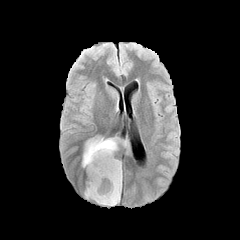
FLAIR MR image.
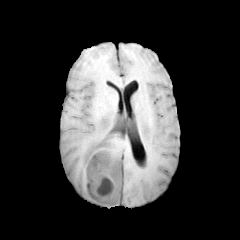
T1-weighted magnetic resonance.
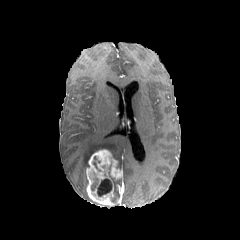
Post-contrast T1-weighted magnetic resonance of the same slice.
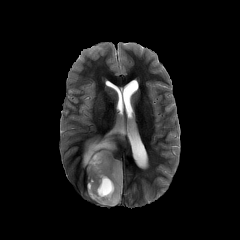
T2-weighted MRI.
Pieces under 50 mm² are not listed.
The largest necrotic tumor core region is bounded by <bbox>97, 178, 112, 196</bbox>. The 2 largest peritumoral edema regions appear at <bbox>82, 135, 131, 167</bbox>, <bbox>112, 179, 122, 197</bbox>. The enhancing tumor appears at <bbox>86, 149, 122, 206</bbox>.